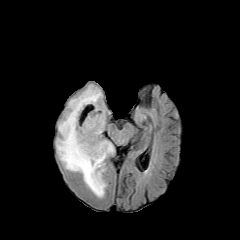
FLAIR MRI.
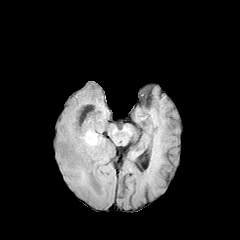
T1-weighted magnetic resonance.
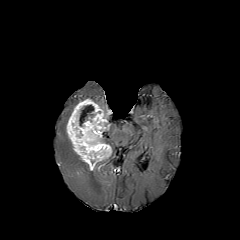
Same slice, post-contrast T1-weighted MRI.
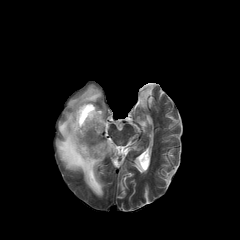
T2-weighted magnetic resonance.
Brain, Axial view
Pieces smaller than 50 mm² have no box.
{"necrotic_tumor_core": ["79:105:94:126"], "peritumoral_edema": ["56:84:106:197", "101:138:114:155"], "enhancing_tumor": ["66:98:111:170"]}